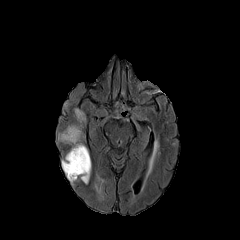
FLAIR MR.
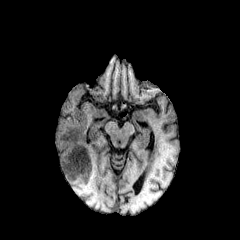
T1-weighted MR.
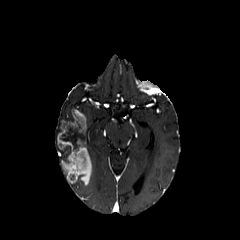
Post-contrast T1-weighted MR of the same slice.
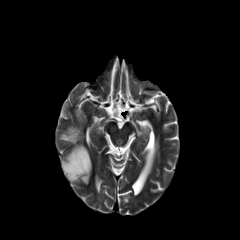
T2-weighted MR image.
Axial view; Head
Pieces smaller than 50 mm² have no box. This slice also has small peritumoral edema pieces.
necrotic_tumor_core:
  - [60,125,83,149]
enhancing_tumor:
  - [57,109,92,184]